Image size 240x240, Head
FLAIR magnetic resonance.
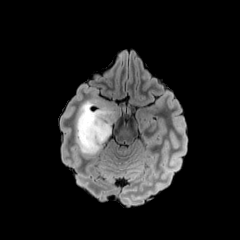
T1-weighted MR image.
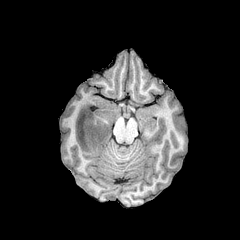
Post-contrast T1-weighted MR.
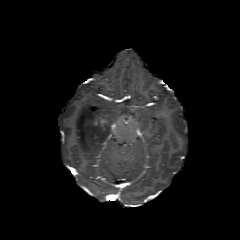
T2-weighted MR image.
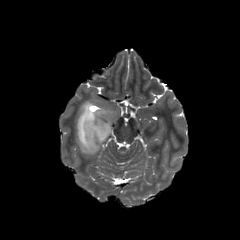
peritumoral_edema:
  - 76:99:121:154
enhancing_tumor:
  - 94:116:106:125